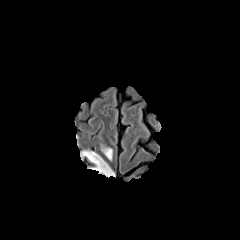
FLAIR MRI.
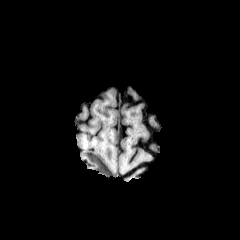
Same slice, T1-weighted MR image.
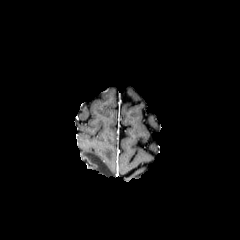
Same slice, post-contrast T1-weighted MR image.
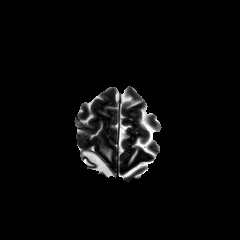
Same slice, T2-weighted magnetic resonance.
Head
2 peritumoral edema regions appear at bbox(102, 148, 112, 160); bbox(81, 150, 114, 177).